FLAIR MRI.
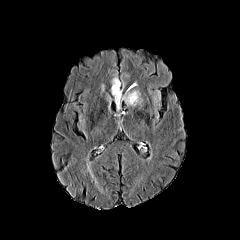
T1-weighted MR.
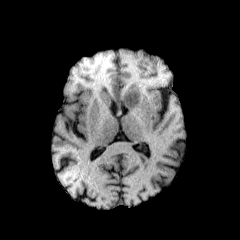
Post-contrast T1-weighted MRI.
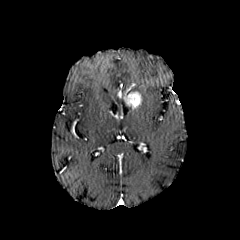
T2-weighted MRI.
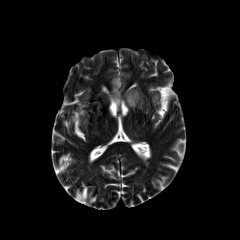
Axial plane
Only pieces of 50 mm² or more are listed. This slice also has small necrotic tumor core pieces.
peritumoral_edema:
  - 113, 95, 121, 109
  - 112, 76, 119, 93
enhancing_tumor:
  - 113, 89, 142, 108